FLAIR MR.
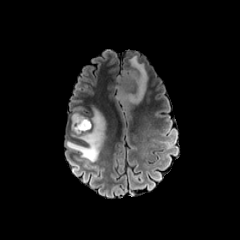
T1-weighted MR image.
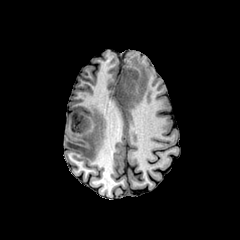
Post-contrast T1-weighted MRI.
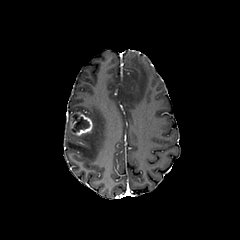
T2-weighted MRI.
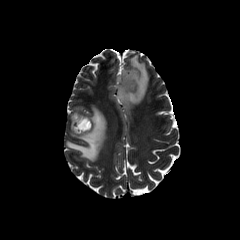
Head
enhancing_tumor:
  - 70, 112, 92, 135
peritumoral_edema:
  - 116, 55, 148, 105
  - 66, 107, 105, 162
necrotic_tumor_core:
  - 73, 114, 89, 132